Image width 240 mm. Axial view. Brain.
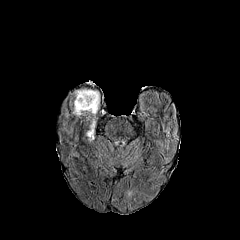
FLAIR MRI.
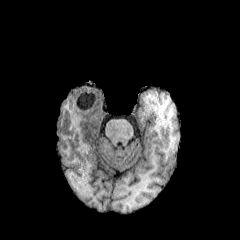
T1-weighted magnetic resonance.
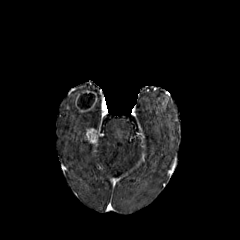
Same slice, post-contrast T1-weighted MR.
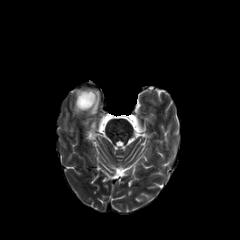
T2-weighted MR.
<segmentation>
  <enhancing_tumor>region(75, 90, 97, 112); region(85, 128, 97, 144)</enhancing_tumor>
  <necrotic_tumor_core>region(77, 93, 95, 109)</necrotic_tumor_core>
  <peritumoral_edema>region(68, 85, 100, 128)</peritumoral_edema>
</segmentation>